Axial view; Image width 240 mm, 1.00 mm slice spacing; Slice index 72
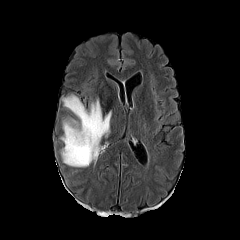
FLAIR MR image.
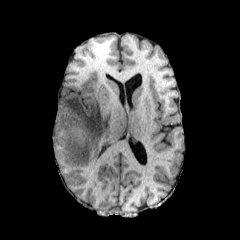
T1-weighted MR image.
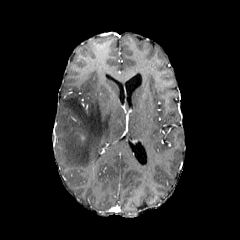
Post-contrast T1-weighted magnetic resonance.
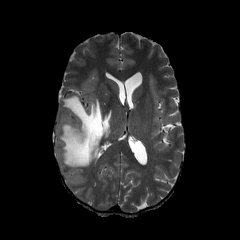
T2-weighted MR image.
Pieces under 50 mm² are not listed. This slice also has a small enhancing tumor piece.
The peritumoral edema is at 58:93:112:167.